FLAIR MRI.
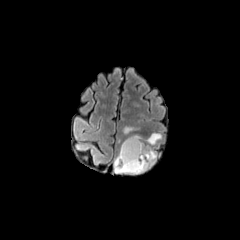
T1-weighted magnetic resonance.
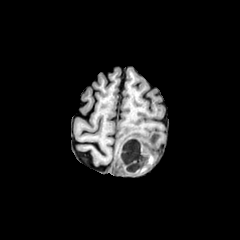
Post-contrast T1-weighted MRI.
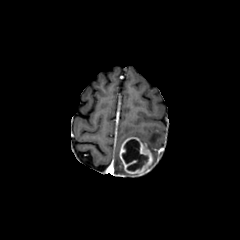
T2-weighted magnetic resonance.
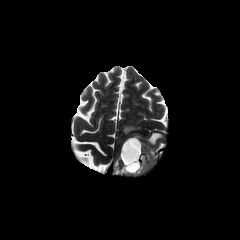
Brain
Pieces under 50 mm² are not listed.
{"peritumoral_edema": ["rect(146, 133, 161, 164)", "rect(123, 126, 137, 134)", "rect(114, 153, 128, 174)"], "enhancing_tumor": ["rect(119, 137, 153, 175)"], "necrotic_tumor_core": ["rect(122, 139, 148, 170)"]}